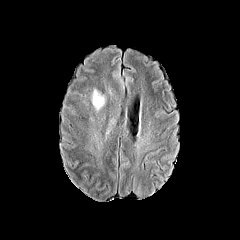
FLAIR MRI.
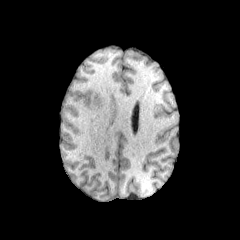
T1-weighted magnetic resonance.
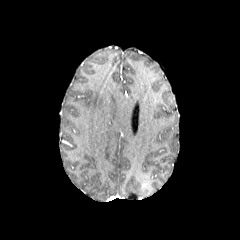
Post-contrast T1-weighted MR image.
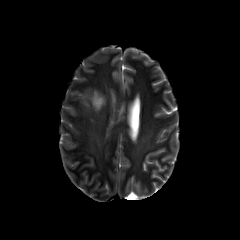
T2-weighted magnetic resonance.
Axial plane, Image size 240x240
{
  "peritumoral_edema": [
    "l=92, t=90, r=104, b=111"
  ]
}